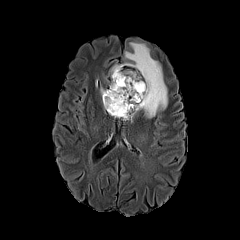
FLAIR MR image.
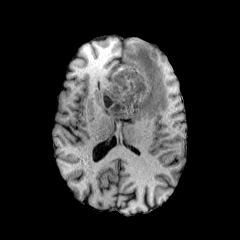
Same slice, T1-weighted MR image.
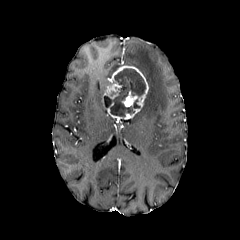
Same slice, post-contrast T1-weighted MR image.
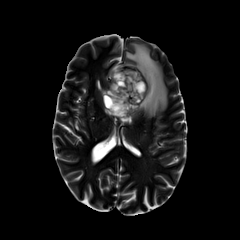
T2-weighted MR of the same slice.
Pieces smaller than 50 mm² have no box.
necrotic tumor core — 104:68:145:116
peritumoral edema — 122:42:167:118, 110:64:121:76
enhancing tumor — 102:65:148:119